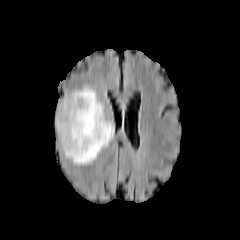
FLAIR MR.
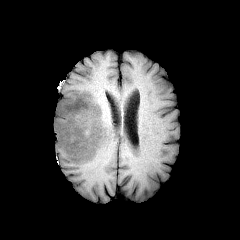
T1-weighted MR image of the same slice.
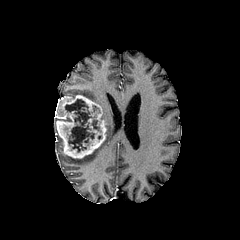
Post-contrast T1-weighted MR.
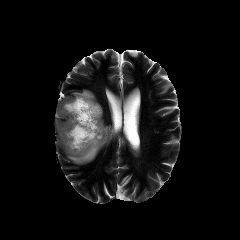
Same slice, T2-weighted MR.
Head. Axial plane.
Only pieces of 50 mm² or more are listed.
peritumoral edema: 65, 87, 114, 164 | enhancing tumor: 56, 95, 106, 158 | necrotic tumor core: 65, 99, 99, 152